FLAIR MR image.
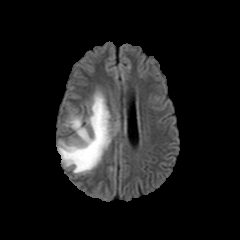
T1-weighted MR image.
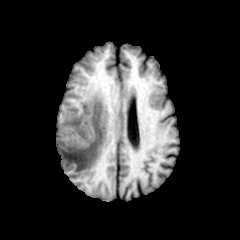
Post-contrast T1-weighted MR.
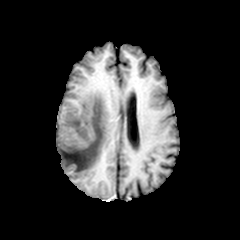
T2-weighted MR image.
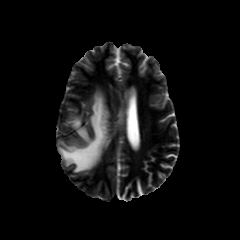
{
  "peritumoral_edema": [
    "[58, 91, 110, 173]"
  ]
}